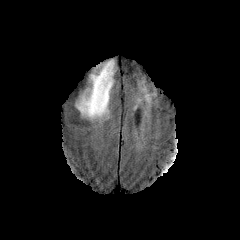
FLAIR magnetic resonance.
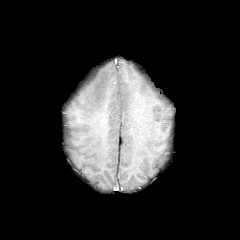
T1-weighted MRI of the same slice.
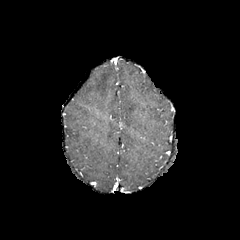
Post-contrast T1-weighted magnetic resonance.
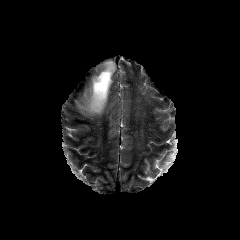
T2-weighted MR.
240x240 px
Annotated regions:
- peritumoral edema: (77,62,114,118)